FLAIR MR image.
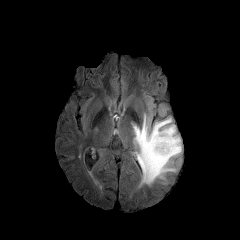
T1-weighted magnetic resonance.
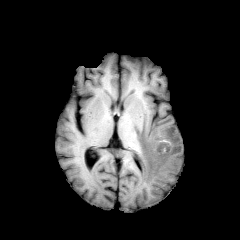
Post-contrast T1-weighted magnetic resonance.
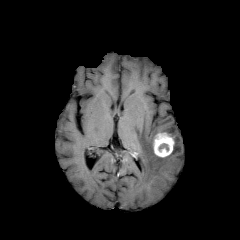
T2-weighted magnetic resonance.
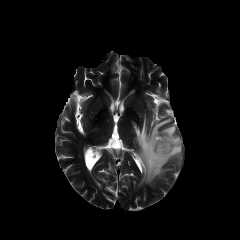
Brain
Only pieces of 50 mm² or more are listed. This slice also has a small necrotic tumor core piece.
<segmentation>
  <peritumoral_edema>[133, 114, 182, 185]</peritumoral_edema>
  <enhancing_tumor>[153, 132, 174, 157]</enhancing_tumor>
</segmentation>